FLAIR MRI.
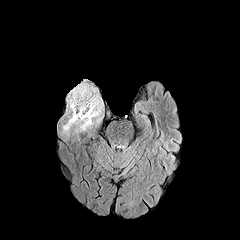
T1-weighted magnetic resonance.
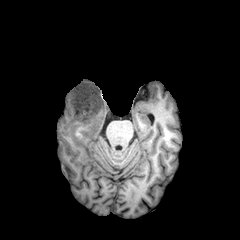
Post-contrast T1-weighted MR.
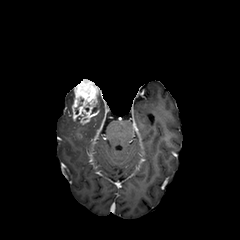
T2-weighted magnetic resonance.
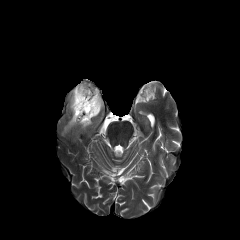
Axial view
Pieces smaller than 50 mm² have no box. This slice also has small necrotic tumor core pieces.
enhancing tumor: [x1=71, y1=79, x2=99, y2=124] | peritumoral edema: [x1=63, y1=94, x2=103, y2=133], [x1=67, y1=90, x2=74, y2=111]